FLAIR MR.
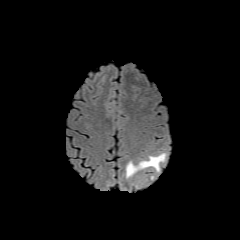
T1-weighted MRI.
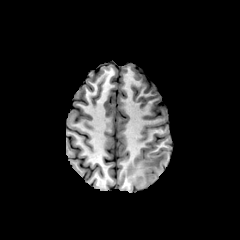
Post-contrast T1-weighted magnetic resonance.
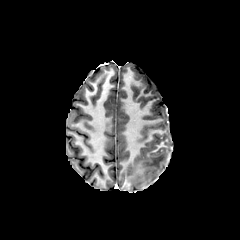
T2-weighted MR.
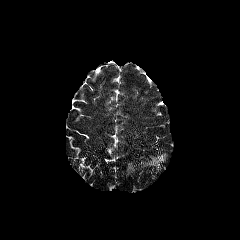
Head; Axial plane
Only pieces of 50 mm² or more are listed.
peritumoral edema — {"x1": 125, "y1": 153, "x2": 167, "y2": 178}